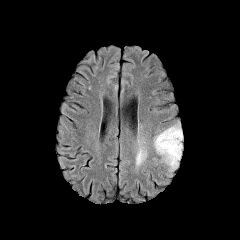
FLAIR MR image.
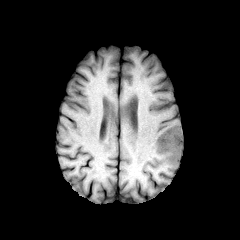
T1-weighted MR.
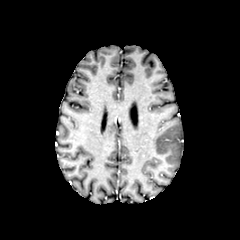
Post-contrast T1-weighted MRI of the same slice.
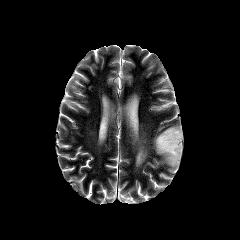
T2-weighted MR of the same slice.
Axial slice | Image size 240x240
peritumoral edema: bounding box (130,147,146,174), (152,124,183,170)